Axial slice | Head | 240x240 px | Slice index 88
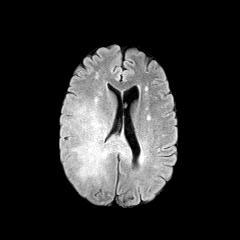
FLAIR MRI.
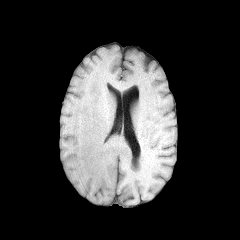
T1-weighted MRI.
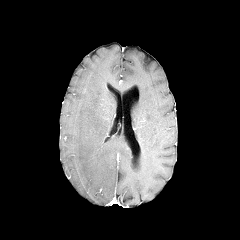
Same slice, post-contrast T1-weighted MRI.
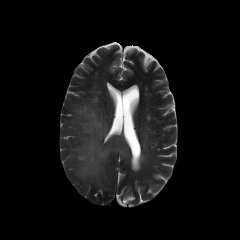
T2-weighted MR image.
The peritumoral edema lies within <box>70,97,129,182</box>.